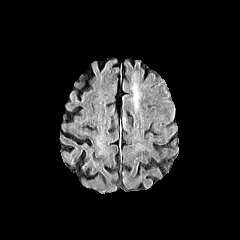
FLAIR MR.
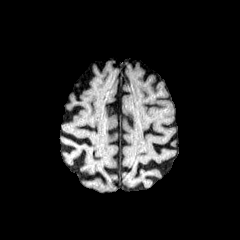
T1-weighted MR image.
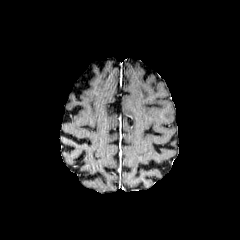
Same slice, post-contrast T1-weighted MR image.
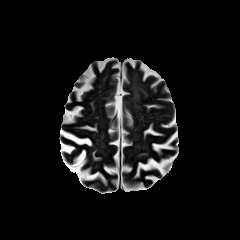
T2-weighted MRI.
Annotated regions:
* peritumoral edema: (133,87,139,107)